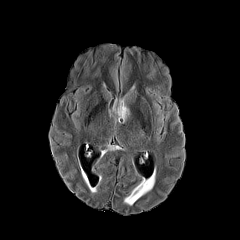
FLAIR magnetic resonance.
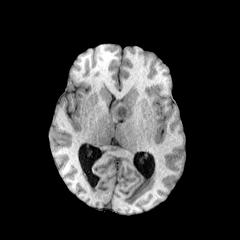
T1-weighted magnetic resonance of the same slice.
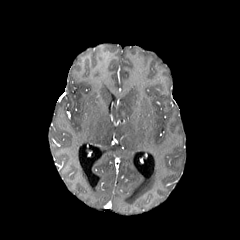
Post-contrast T1-weighted magnetic resonance.
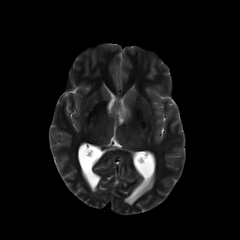
Same slice, T2-weighted MRI.
Head
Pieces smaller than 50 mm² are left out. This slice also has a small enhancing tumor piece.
The peritumoral edema lies within <box>115,100,129,119</box>.